FLAIR magnetic resonance.
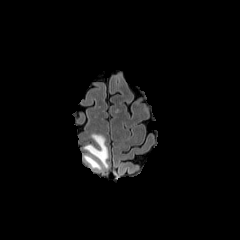
T1-weighted MR image.
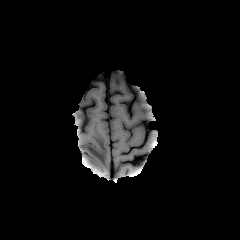
Post-contrast T1-weighted magnetic resonance.
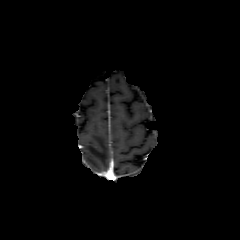
T2-weighted MR.
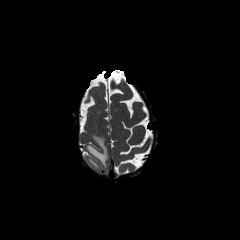
240x240 px. Axial slice. Brain.
Annotated regions:
* peritumoral edema: 83 134 108 171